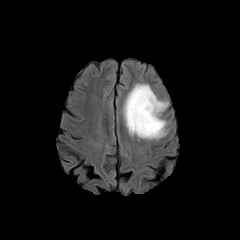
FLAIR MRI.
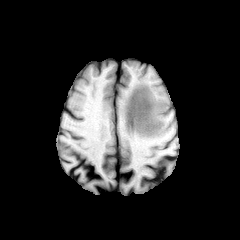
T1-weighted MRI.
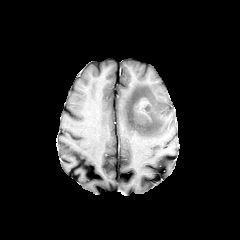
Post-contrast T1-weighted MRI of the same slice.
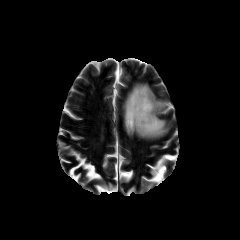
T2-weighted magnetic resonance.
Axial view, 240x240 px
enhancing tumor — [136,98,149,117]
peritumoral edema — [123,83,168,139]